Axial slice | Slice 54/155 | Image covers 240 mm x 240 mm | Brain
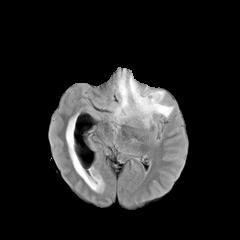
FLAIR MR.
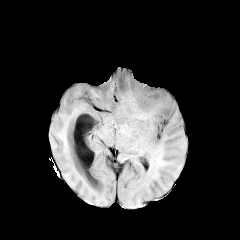
T1-weighted magnetic resonance.
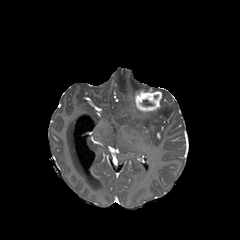
Post-contrast T1-weighted MR.
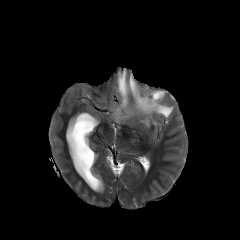
T2-weighted MR image of the same slice.
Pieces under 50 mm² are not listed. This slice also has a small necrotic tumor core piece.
The enhancing tumor is at bbox=[134, 89, 162, 112]. The largest peritumoral edema region lies within bbox=[114, 70, 173, 127].